240x240. Image covers 240 mm x 240 mm. Head.
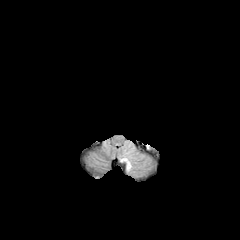
FLAIR MR.
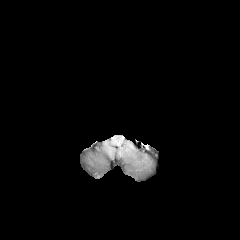
T1-weighted MRI.
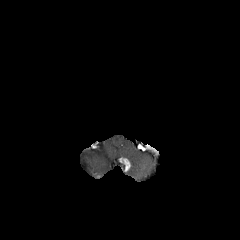
Post-contrast T1-weighted MR image of the same slice.
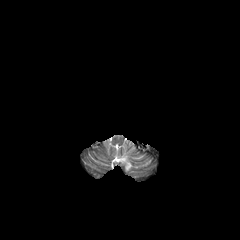
T2-weighted MRI.
enhancing tumor: bounding box (120,158,130,171)
peritumoral edema: bounding box (117,141,152,177)